Head; Axial view; Slice index 55
FLAIR magnetic resonance.
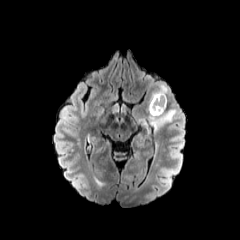
T1-weighted MR image.
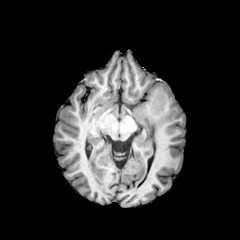
Post-contrast T1-weighted MRI.
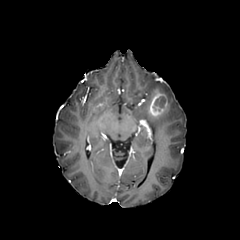
T2-weighted MR image.
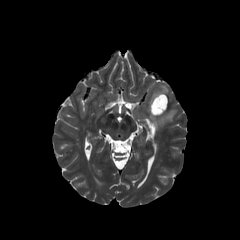
The necrotic tumor core is located at (155, 97, 165, 107). 2 peritumoral edema regions are located at (148, 109, 176, 128), (148, 84, 168, 111). The enhancing tumor lies within (149, 90, 167, 116).